240x240 px, Head, Axial plane
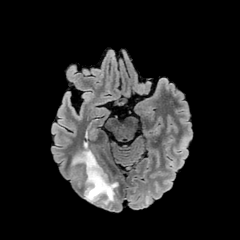
FLAIR MRI.
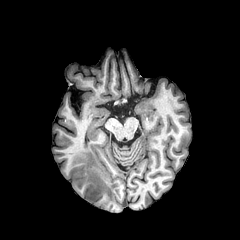
T1-weighted MR image of the same slice.
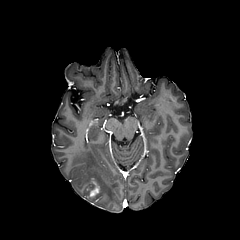
Same slice, post-contrast T1-weighted magnetic resonance.
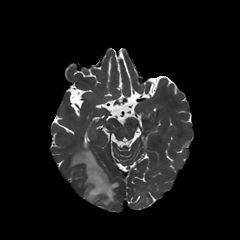
T2-weighted MR.
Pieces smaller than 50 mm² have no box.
enhancing tumor = rect(89, 179, 99, 198)
peritumoral edema = rect(71, 144, 118, 206)